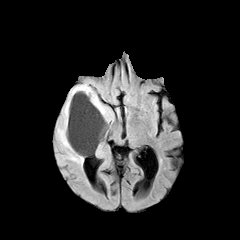
FLAIR magnetic resonance.
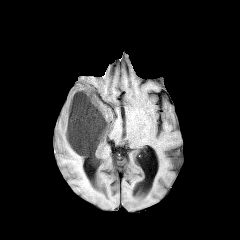
T1-weighted MRI.
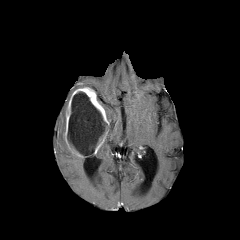
Post-contrast T1-weighted magnetic resonance.
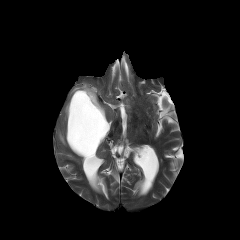
Same slice, T2-weighted MRI.
Axial plane | Brain
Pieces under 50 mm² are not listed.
Segmented structures:
* enhancing tumor: [x1=64, y1=87, x2=109, y2=156]
* peritumoral edema: [x1=101, y1=103, x2=113, y2=129], [x1=57, y1=83, x2=92, y2=163]
* necrotic tumor core: [x1=67, y1=92, x2=107, y2=156]